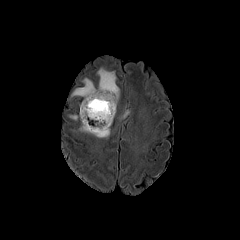
FLAIR MRI.
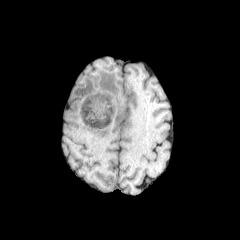
Same slice, T1-weighted MR.
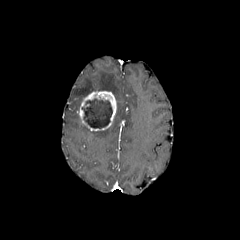
Post-contrast T1-weighted magnetic resonance of the same slice.
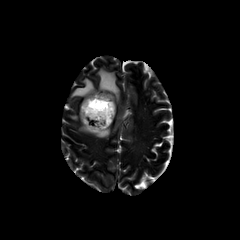
T2-weighted magnetic resonance.
240x240, Head
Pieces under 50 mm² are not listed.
<segmentation>
  <peritumoral_edema>(left=79, top=123, right=110, bottom=137), (left=71, top=68, right=119, bottom=104)</peritumoral_edema>
  <enhancing_tumor>(left=78, top=91, right=116, bottom=131)</enhancing_tumor>
  <necrotic_tumor_core>(left=82, top=99, right=112, bottom=128)</necrotic_tumor_core>
</segmentation>